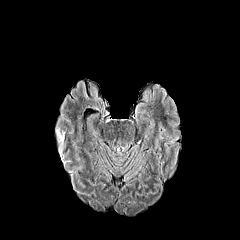
FLAIR MRI.
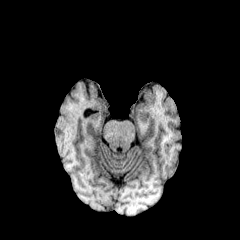
T1-weighted MR image of the same slice.
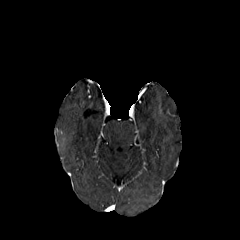
Post-contrast T1-weighted MR.
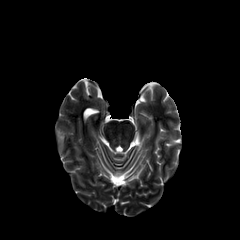
T2-weighted MRI.
Head.
{
  "peritumoral_edema": [
    "x1=57 y1=133 x2=63 y2=148"
  ]
}